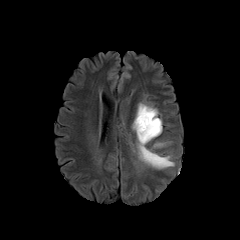
FLAIR magnetic resonance.
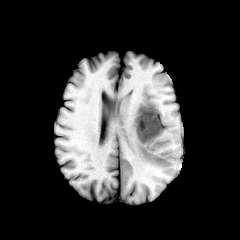
T1-weighted MR image.
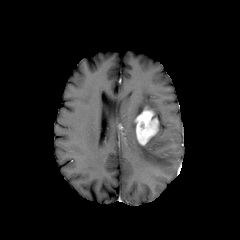
Same slice, post-contrast T1-weighted MR image.
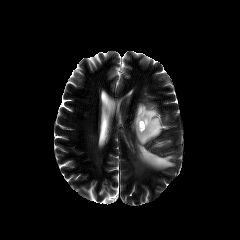
T2-weighted MRI.
Image size 240x240. Brain.
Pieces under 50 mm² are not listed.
enhancing tumor at x1=135, y1=107, x2=158, y2=145
peritumoral edema at x1=153, y1=142, x2=169, y2=147; x1=136, y1=140, x2=174, y2=169; x1=136, y1=103, x2=158, y2=117; x1=148, y1=118, x2=162, y2=141